Slice index 87; Axial plane; Image size 240x240
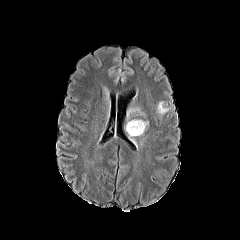
FLAIR MR image.
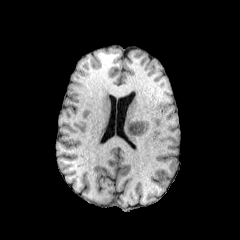
T1-weighted MRI.
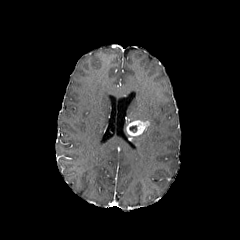
Post-contrast T1-weighted magnetic resonance of the same slice.
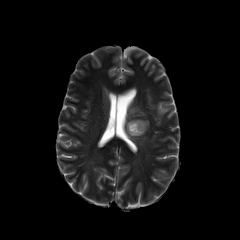
T2-weighted MR image of the same slice.
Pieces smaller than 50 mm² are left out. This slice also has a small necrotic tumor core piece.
{
  "peritumoral_edema": [
    "157:102:169:114",
    "128:108:144:115"
  ],
  "enhancing_tumor": [
    "126:120:149:135"
  ]
}